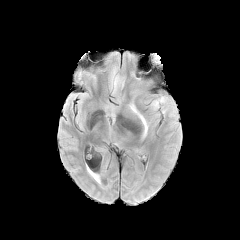
FLAIR MR.
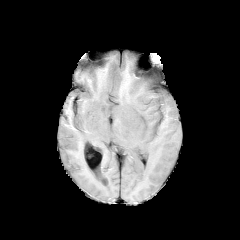
Same slice, T1-weighted MR image.
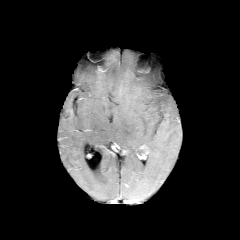
Post-contrast T1-weighted MR image of the same slice.
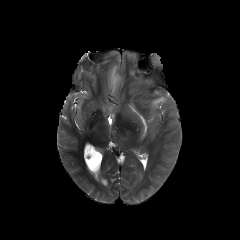
T2-weighted MR.
Axial view, 240x240 px, Brain
peritumoral edema: bbox(109, 51, 156, 137); bbox(152, 97, 166, 107)